Axial slice | Brain
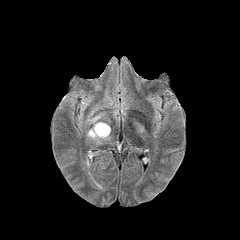
FLAIR MR image.
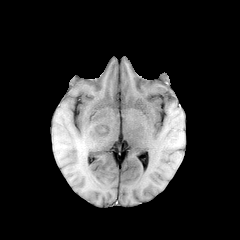
T1-weighted MR image of the same slice.
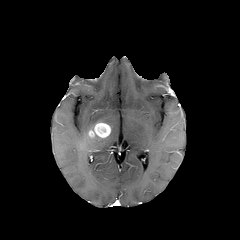
Same slice, post-contrast T1-weighted MRI.
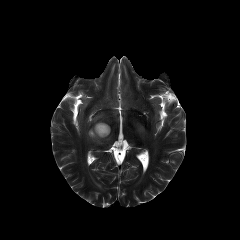
T2-weighted magnetic resonance.
peritumoral edema: (left=87, top=114, right=103, bottom=130), (left=87, top=131, right=109, bottom=143) | enhancing tumor: (left=88, top=122, right=110, bottom=137)